FLAIR MRI.
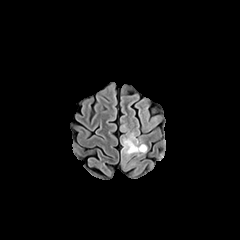
T1-weighted magnetic resonance.
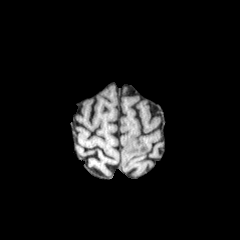
Post-contrast T1-weighted MRI.
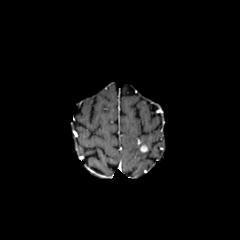
T2-weighted MRI.
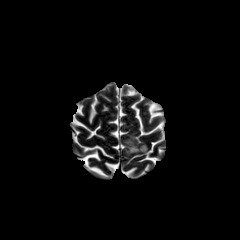
Head | 240x240
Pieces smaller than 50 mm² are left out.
- peritumoral edema: (122, 132, 140, 164)
- enhancing tumor: (140, 144, 147, 152)